Head; Slice 97 of 155; Axial plane; 240x240 px
FLAIR MRI.
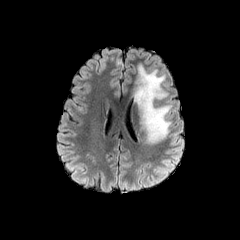
T1-weighted MRI.
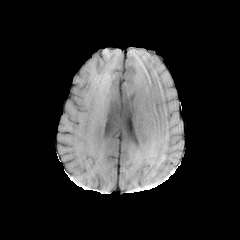
Post-contrast T1-weighted MR.
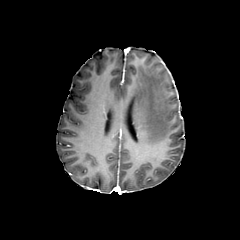
T2-weighted magnetic resonance.
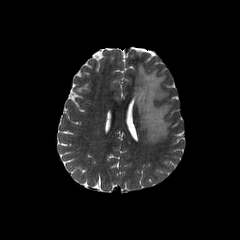
The peritumoral edema is located at {"x1": 133, "y1": 63, "x2": 171, "y2": 143}.